Axial view
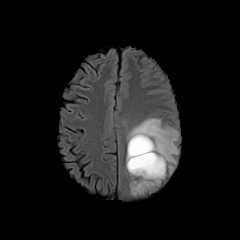
FLAIR magnetic resonance.
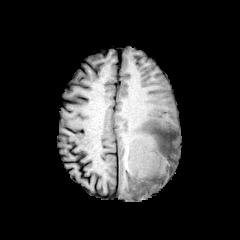
Same slice, T1-weighted magnetic resonance.
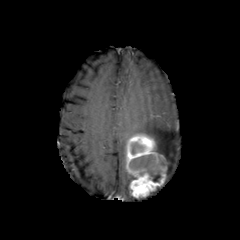
Post-contrast T1-weighted MRI.
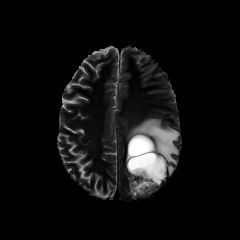
Same slice, T2-weighted MR.
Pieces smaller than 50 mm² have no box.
Segmented structures:
- peritumoral edema: region(127, 118, 179, 174)
- enhancing tumor: region(126, 133, 167, 197)
- necrotic tumor core: region(129, 155, 160, 181); region(132, 143, 142, 153)